FLAIR MR.
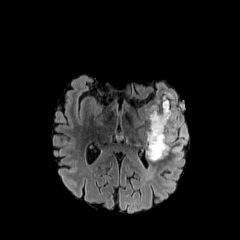
T1-weighted magnetic resonance.
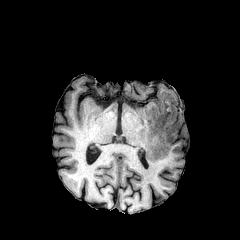
Post-contrast T1-weighted magnetic resonance.
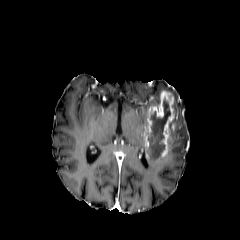
T2-weighted MRI.
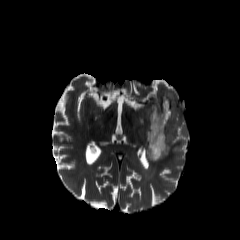
Brain. Axial view. Image size 240x240.
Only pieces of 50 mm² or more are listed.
necrotic tumor core = box(148, 99, 170, 158)
peritumoral edema = box(147, 82, 188, 170)
enhancing tumor = box(143, 90, 178, 161)